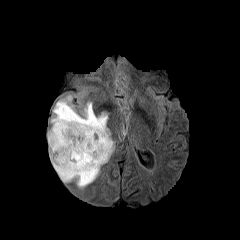
FLAIR MR image.
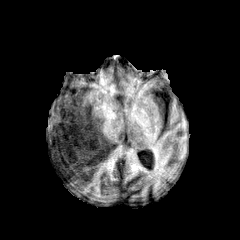
T1-weighted magnetic resonance.
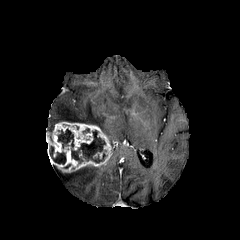
Same slice, post-contrast T1-weighted magnetic resonance.
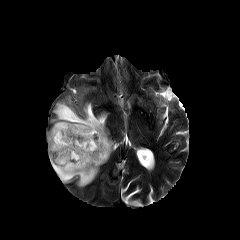
Same slice, T2-weighted MR.
Axial slice | Head
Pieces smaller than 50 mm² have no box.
necrotic tumor core: bounding box (49, 146, 66, 164), (71, 130, 105, 163), (58, 129, 73, 147)
enhancing tumor: bounding box (47, 121, 113, 172)
peritumoral edema: bounding box (49, 95, 113, 145), (53, 165, 100, 188)